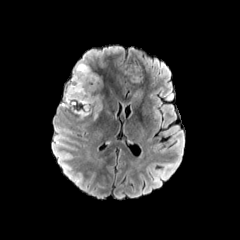
FLAIR MR.
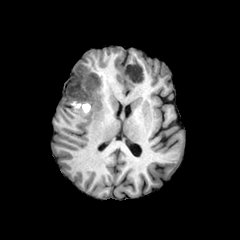
Same slice, T1-weighted MRI.
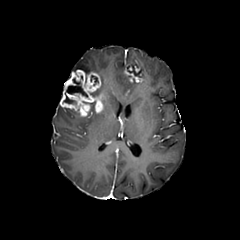
Same slice, post-contrast T1-weighted magnetic resonance.
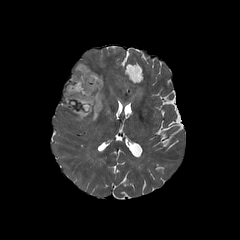
T2-weighted MRI of the same slice.
Axial plane, Image size 240x240, Head
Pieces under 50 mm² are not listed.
peritumoral_edema:
  - [x1=73, y1=59, x2=93, y2=72]
  - [x1=133, y1=89, x2=142, y2=97]
enhancing_tumor:
  - [x1=123, y1=64, x2=144, y2=83]
  - [x1=59, y1=69, x2=107, y2=117]
necrotic_tumor_core:
  - [x1=83, y1=101, x2=95, y2=110]
  - [x1=63, y1=95, x2=76, y2=105]
  - [x1=66, y1=78, x2=87, y2=97]